FLAIR magnetic resonance.
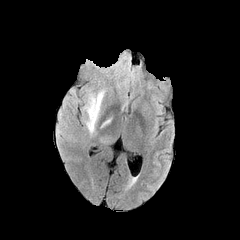
T1-weighted magnetic resonance.
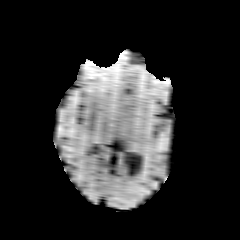
Post-contrast T1-weighted magnetic resonance.
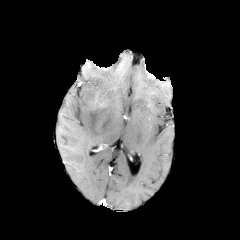
T2-weighted magnetic resonance.
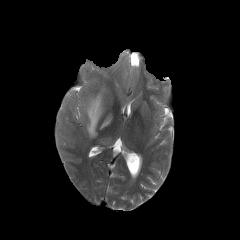
240x240. Axial plane. Brain.
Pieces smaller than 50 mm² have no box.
peritumoral edema at (87, 92, 103, 133)